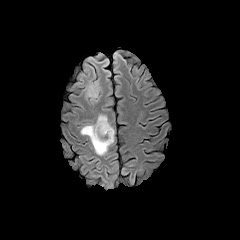
FLAIR MRI.
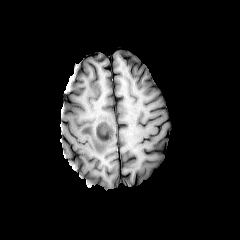
T1-weighted MR of the same slice.
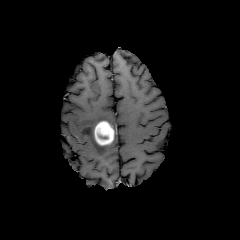
Post-contrast T1-weighted magnetic resonance.
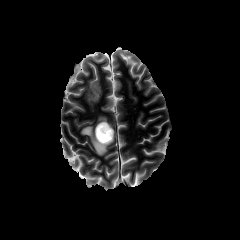
T2-weighted MR of the same slice.
Brain
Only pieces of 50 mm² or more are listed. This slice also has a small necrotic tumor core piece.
The enhancing tumor is located at box(94, 121, 114, 145). 2 peritumoral edema regions appear at box(74, 63, 99, 97); box(80, 114, 115, 155).